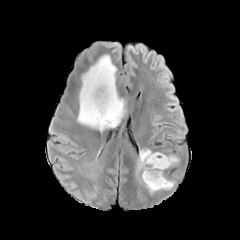
FLAIR magnetic resonance.
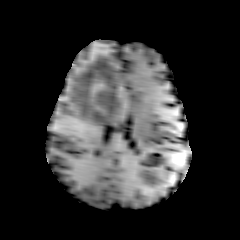
Same slice, T1-weighted MRI.
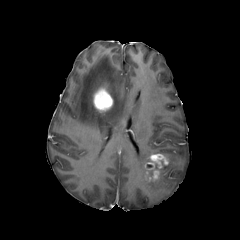
Post-contrast T1-weighted MRI.
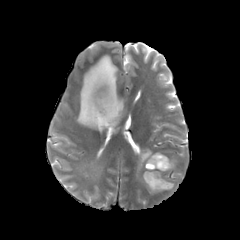
Same slice, T2-weighted MRI.
Head
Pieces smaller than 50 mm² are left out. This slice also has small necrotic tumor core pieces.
enhancing_tumor:
  - rect(145, 153, 168, 181)
  - rect(93, 87, 113, 112)
peritumoral_edema:
  - rect(77, 55, 125, 131)
  - rect(136, 148, 179, 193)